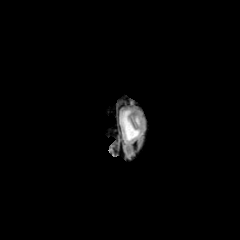
FLAIR MR image.
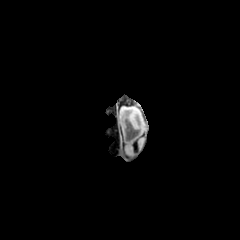
T1-weighted magnetic resonance of the same slice.
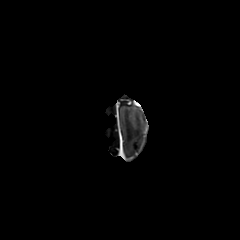
Post-contrast T1-weighted MR image.
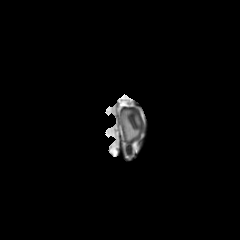
T2-weighted MR image of the same slice.
Brain
peritumoral edema — (120,110,141,142)